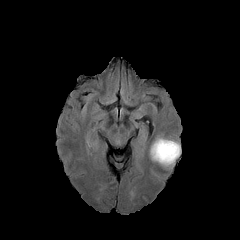
FLAIR MR image.
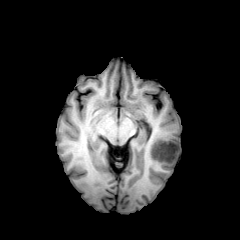
T1-weighted MR image.
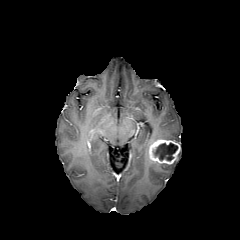
Same slice, post-contrast T1-weighted MRI.
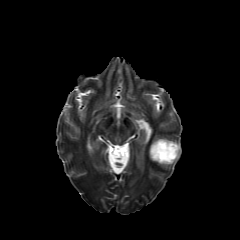
T2-weighted MR image.
Brain | Image size 240x240
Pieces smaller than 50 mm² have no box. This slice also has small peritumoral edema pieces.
The necrotic tumor core appears at l=154, t=143, r=177, b=160. The enhancing tumor is at l=149, t=139, r=180, b=164.